Head
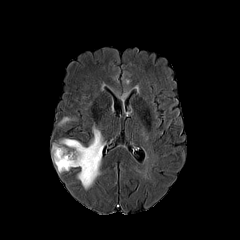
FLAIR magnetic resonance.
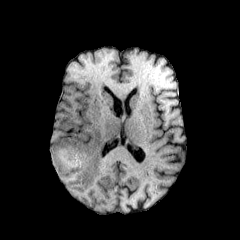
T1-weighted MR image.
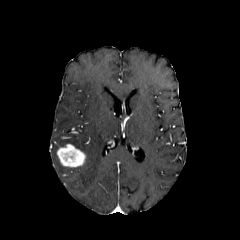
Post-contrast T1-weighted MR image of the same slice.
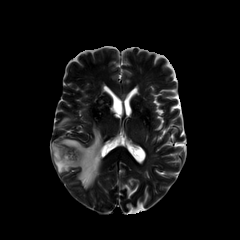
T2-weighted magnetic resonance of the same slice.
enhancing tumor = box(57, 143, 86, 167)
peritumoral edema = box(52, 144, 69, 172); box(60, 125, 104, 189); box(59, 117, 70, 125)